FLAIR magnetic resonance.
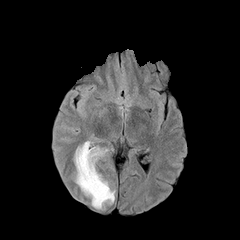
T1-weighted magnetic resonance.
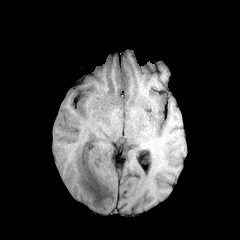
Post-contrast T1-weighted MR image.
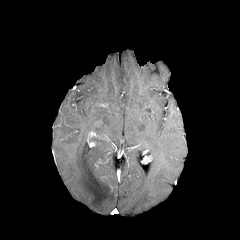
T2-weighted MRI.
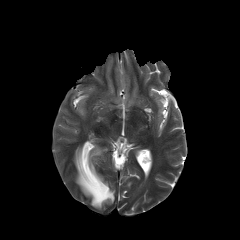
Image size 240x240
<segmentation>
  <peritumoral_edema>region(74, 142, 114, 209)</peritumoral_edema>
</segmentation>